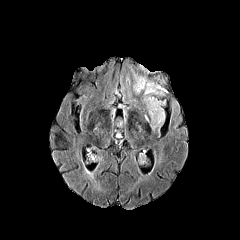
FLAIR MR.
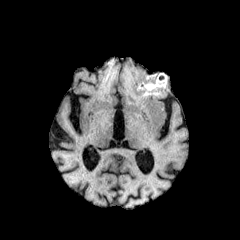
T1-weighted magnetic resonance.
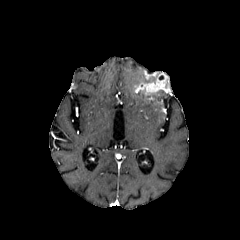
Post-contrast T1-weighted magnetic resonance.
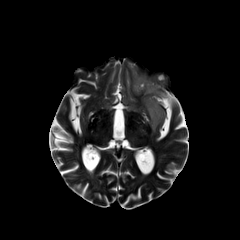
T2-weighted MR of the same slice.
Image size 240x240
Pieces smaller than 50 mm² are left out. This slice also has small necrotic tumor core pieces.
enhancing tumor: 134:73:167:94 | peritumoral edema: 133:72:156:91, 138:90:165:130